Head
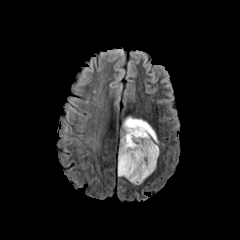
FLAIR MR image.
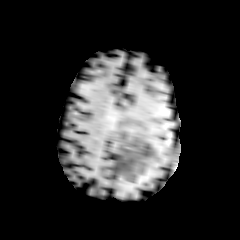
T1-weighted MRI of the same slice.
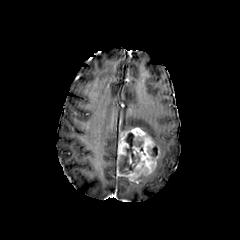
Same slice, post-contrast T1-weighted magnetic resonance.
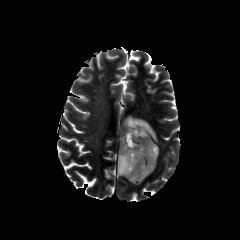
Same slice, T2-weighted MR.
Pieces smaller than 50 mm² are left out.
{
  "enhancing_tumor": [
    "[117, 127, 159, 183]"
  ],
  "necrotic_tumor_core": [
    "[119, 133, 143, 173]",
    "[152, 146, 157, 156]"
  ],
  "peritumoral_edema": [
    "[123, 116, 159, 145]"
  ]
}